FLAIR MR image.
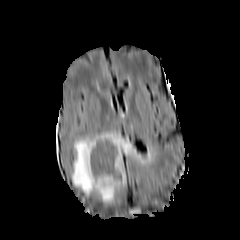
T1-weighted magnetic resonance.
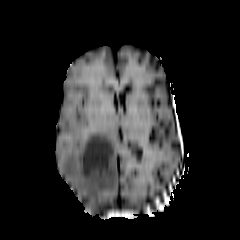
Post-contrast T1-weighted magnetic resonance.
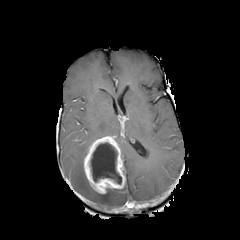
T2-weighted MR.
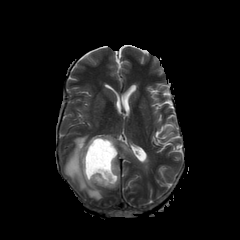
Axial plane
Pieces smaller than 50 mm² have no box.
peritumoral edema at (71,132,137,202)
necrotic tumor core at (90,142,121,184)
enhancing tumor at (83,136,125,193)